Slice index 88, Image width 240 mm, Axial slice, 240x240
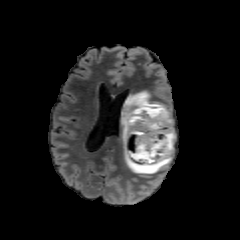
FLAIR MR image.
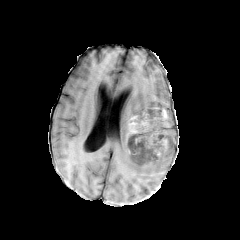
T1-weighted MRI.
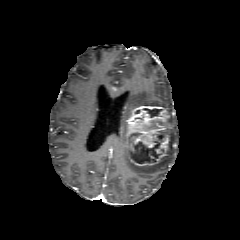
Post-contrast T1-weighted magnetic resonance.
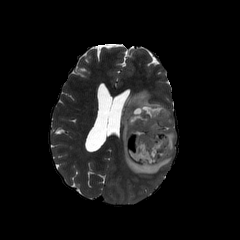
Same slice, T2-weighted MRI.
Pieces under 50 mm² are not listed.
The largest enhancing tumor region lies within {"x1": 126, "y1": 105, "x2": 170, "y2": 168}. The peritumoral edema lies within {"x1": 121, "y1": 90, "x2": 175, "y2": 175}. The 2 largest necrotic tumor core regions appear at {"x1": 132, "y1": 129, "x2": 166, "y2": 163}, {"x1": 144, "y1": 108, "x2": 162, "y2": 117}.